Brain
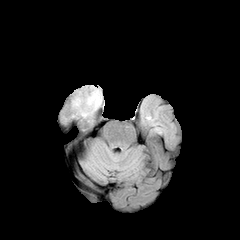
FLAIR MR image.
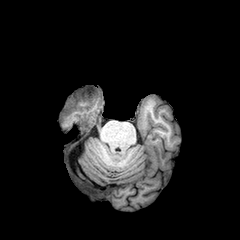
Same slice, T1-weighted magnetic resonance.
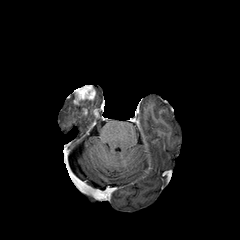
Post-contrast T1-weighted MR image.
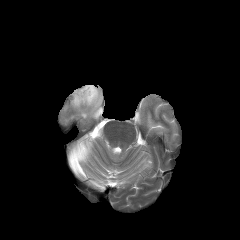
T2-weighted magnetic resonance of the same slice.
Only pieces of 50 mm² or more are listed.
peritumoral edema: x1=72, y1=85, x2=102, y2=117 | enhancing tumor: x1=73, y1=85, x2=95, y2=105